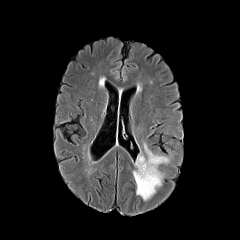
FLAIR MR image.
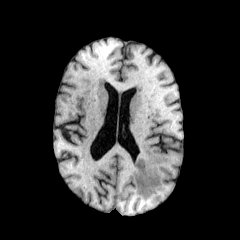
T1-weighted magnetic resonance of the same slice.
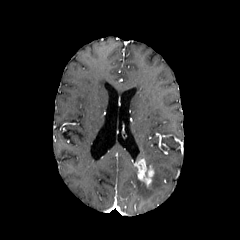
Post-contrast T1-weighted MR image.
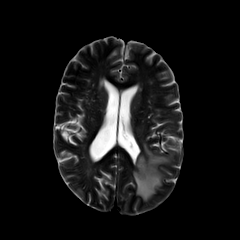
T2-weighted magnetic resonance.
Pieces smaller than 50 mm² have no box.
The largest peritumoral edema region is located at bbox=[133, 143, 169, 200]. The enhancing tumor appears at bbox=[134, 158, 154, 187].